Image width 240 mm. Axial view.
FLAIR MR image.
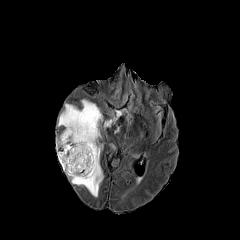
T1-weighted MRI.
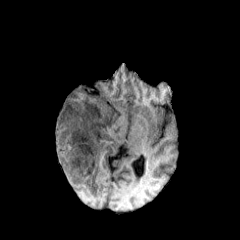
Post-contrast T1-weighted MR image.
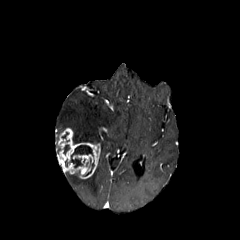
T2-weighted MR.
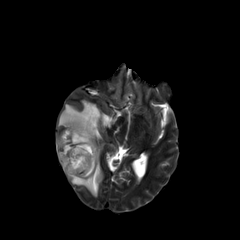
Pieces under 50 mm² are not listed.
The 3 largest peritumoral edema regions are located at <box>66,161,103,197</box>, <box>104,110,122,128</box>, <box>58,99,103,143</box>. The enhancing tumor is bounded by <box>56,128,100,179</box>. The largest necrotic tumor core region lies within <box>70,145,92,167</box>.